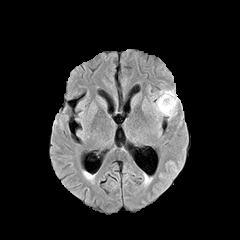
FLAIR magnetic resonance.
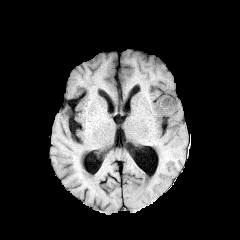
T1-weighted MR image.
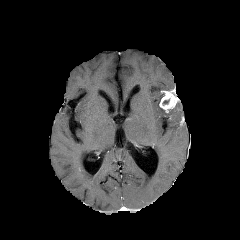
Post-contrast T1-weighted magnetic resonance of the same slice.
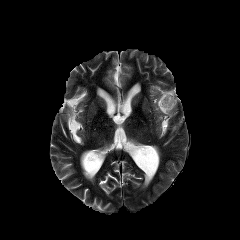
T2-weighted MR image.
Axial slice
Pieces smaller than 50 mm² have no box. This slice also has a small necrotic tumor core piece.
<segmentation>
  <enhancing_tumor>(159, 89, 179, 112)</enhancing_tumor>
  <peritumoral_edema>(155, 94, 175, 116)</peritumoral_edema>
</segmentation>